FLAIR magnetic resonance.
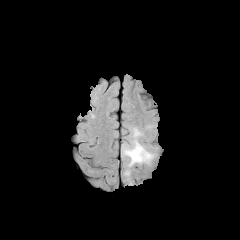
T1-weighted MR image.
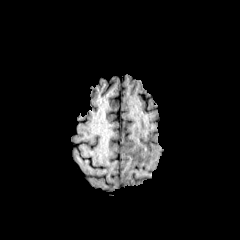
Post-contrast T1-weighted MR image.
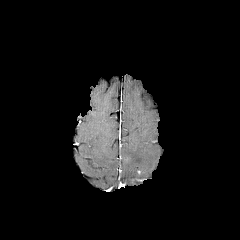
T2-weighted MRI.
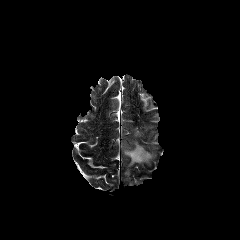
Head. Axial slice. 240x240 px.
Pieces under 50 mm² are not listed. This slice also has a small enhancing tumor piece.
peritumoral_edema:
  - (x1=122, y1=128, x2=154, y2=166)